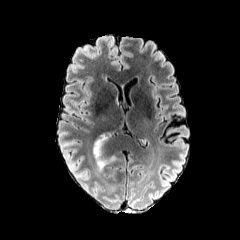
FLAIR MR image.
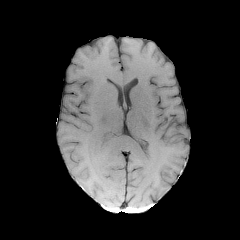
Same slice, T1-weighted magnetic resonance.
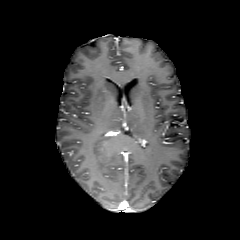
Post-contrast T1-weighted MR.
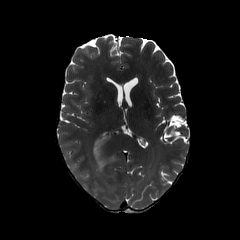
T2-weighted MRI.
240x240 px; Axial slice
The peritumoral edema appears at box=[93, 138, 115, 170].